FLAIR MR image.
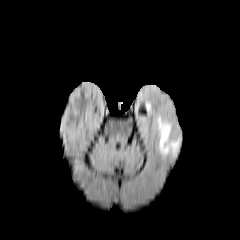
T1-weighted magnetic resonance.
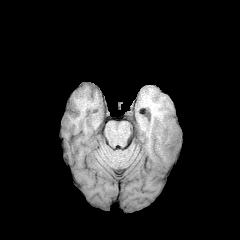
Post-contrast T1-weighted MR.
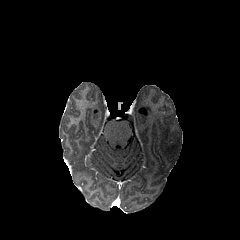
T2-weighted magnetic resonance.
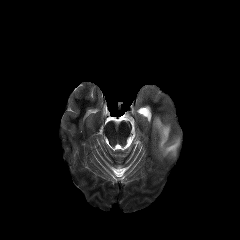
Brain. Axial plane.
{
  "peritumoral_edema": [
    "[x1=154, y1=116, x2=180, y2=156]"
  ]
}